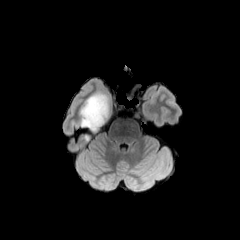
FLAIR MRI.
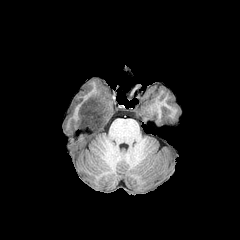
Same slice, T1-weighted MR image.
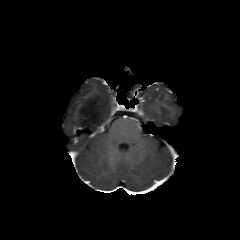
Post-contrast T1-weighted magnetic resonance.
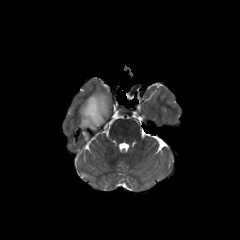
T2-weighted MR image.
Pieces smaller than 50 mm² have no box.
The largest peritumoral edema region is bounded by bbox(79, 91, 115, 135).